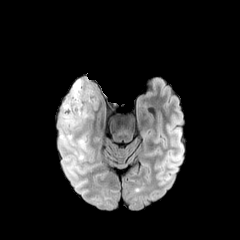
FLAIR MR.
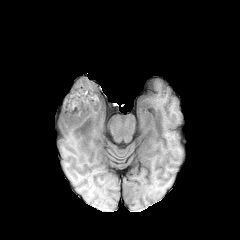
T1-weighted MRI of the same slice.
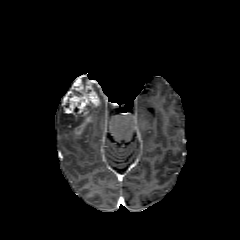
Same slice, post-contrast T1-weighted MR.
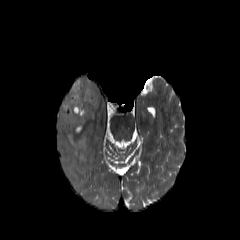
T2-weighted MR image.
240x240 px, Head
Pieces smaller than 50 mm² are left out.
{"necrotic_tumor_core": ["84:102:94:118"], "enhancing_tumor": ["63:78:99:133"], "peritumoral_edema": ["78:137:86:149", "61:110:81:132"]}